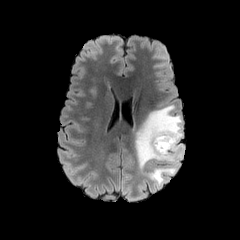
FLAIR MR.
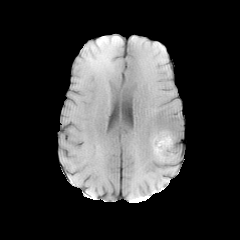
T1-weighted magnetic resonance.
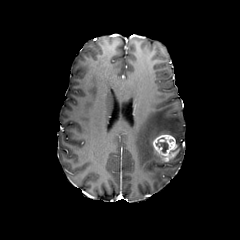
Post-contrast T1-weighted magnetic resonance of the same slice.
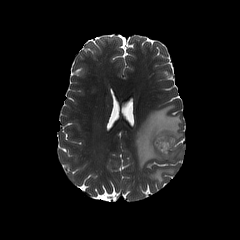
T2-weighted MR.
Axial plane.
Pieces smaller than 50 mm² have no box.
peritumoral edema: (x1=135, y1=104, x2=183, y2=186)
enhancing tumor: (x1=152, y1=134, x2=178, y2=161)
necrotic tumor core: (x1=156, y1=142, x2=168, y2=152)